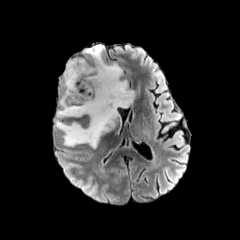
FLAIR MR.
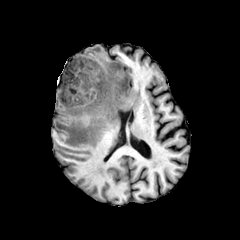
T1-weighted MR.
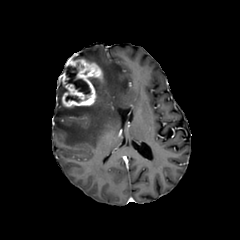
Post-contrast T1-weighted MRI.
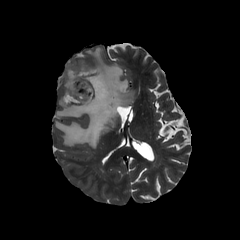
T2-weighted MR image.
Head
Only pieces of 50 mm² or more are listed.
Annotated regions:
- necrotic tumor core: 65,66,90,94; 66,95,79,101
- enhancing tumor: 61,58,103,107
- peritumoral edema: 55,45,134,148